FLAIR MR image.
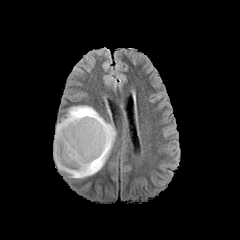
T1-weighted MR.
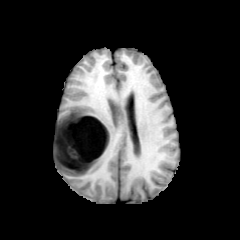
Post-contrast T1-weighted MR.
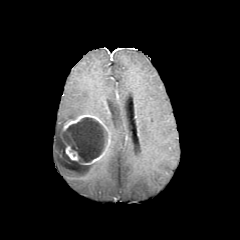
T2-weighted MR.
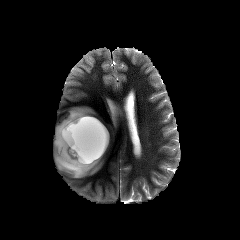
Image size 240x240 | Axial slice | Brain
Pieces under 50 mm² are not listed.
necrotic tumor core: 63, 117, 107, 162
peritumoral edema: 53, 105, 115, 178
enhancing tumor: 61, 114, 109, 164